Slice 93 of 155 | Brain
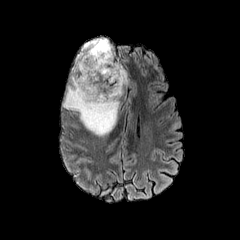
FLAIR magnetic resonance.
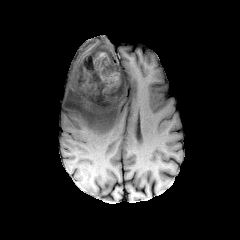
T1-weighted MR.
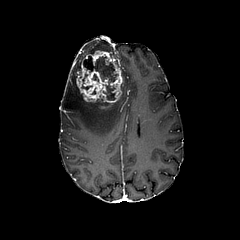
Post-contrast T1-weighted MR image.
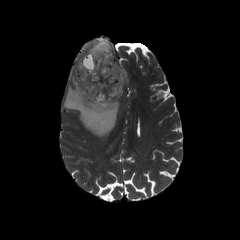
T2-weighted MR of the same slice.
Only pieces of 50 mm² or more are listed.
necrotic tumor core: bounding box 83:55:118:100
enhancing tumor: bounding box 76:50:123:108
peritumoral edema: bounding box 121:65:128:96, 62:38:120:136